Image covers 240 mm x 240 mm; Image size 240x240; Axial view; Slice 44/155
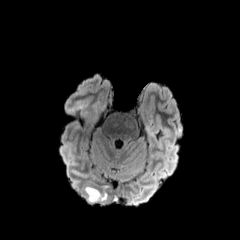
FLAIR MR.
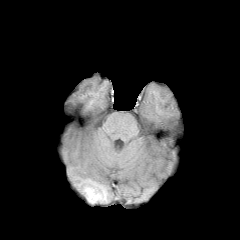
T1-weighted magnetic resonance.
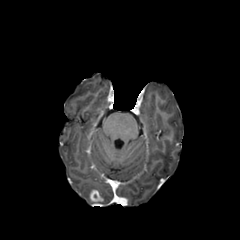
Post-contrast T1-weighted MR image of the same slice.
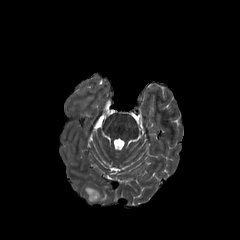
T2-weighted MR image.
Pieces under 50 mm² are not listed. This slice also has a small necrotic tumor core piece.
enhancing_tumor:
  - x1=89 y1=189 x2=102 y2=202
peritumoral_edema:
  - x1=84 y1=185 x2=107 y2=203